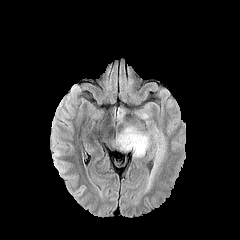
FLAIR MR.
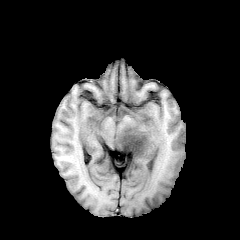
T1-weighted MR.
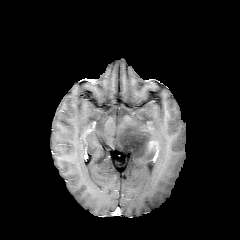
Post-contrast T1-weighted MR image.
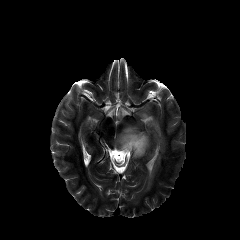
T2-weighted MR.
Axial slice, Image size 240x240
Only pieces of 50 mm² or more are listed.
Annotated regions:
• enhancing tumor: box=[148, 141, 158, 150]
• peritumoral edema: box=[117, 109, 124, 120]; box=[116, 121, 164, 172]